FLAIR MR image.
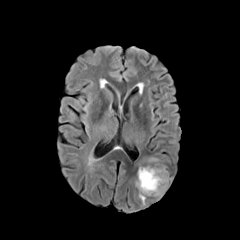
T1-weighted MR image.
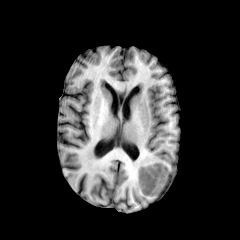
Post-contrast T1-weighted magnetic resonance.
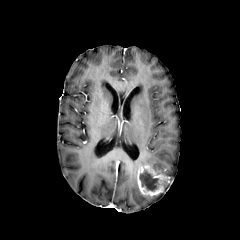
T2-weighted MR image.
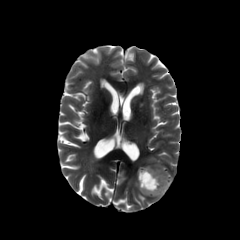
Head; Axial slice
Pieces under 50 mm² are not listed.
enhancing tumor: bounding box [x1=137, y1=164, x2=170, y2=196]
necrotic tumor core: bounding box [x1=139, y1=170, x2=159, y2=190]
peritumoral edema: bounding box [x1=147, y1=156, x2=159, y2=162]